FLAIR magnetic resonance.
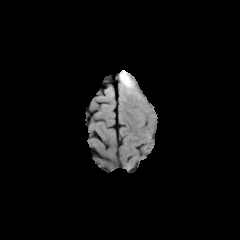
T1-weighted magnetic resonance.
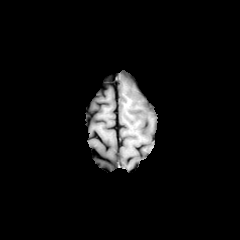
Post-contrast T1-weighted MRI.
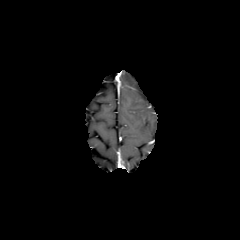
T2-weighted MR image.
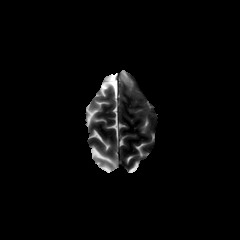
240x240 px.
peritumoral edema at (120, 72, 133, 88)